FLAIR MRI.
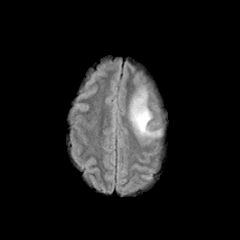
T1-weighted magnetic resonance.
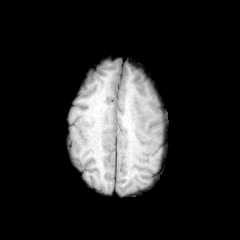
Post-contrast T1-weighted MR image.
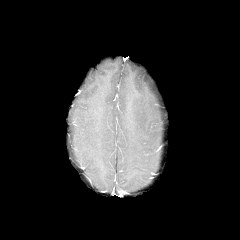
T2-weighted MR image.
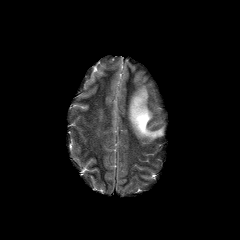
Brain, Axial plane
The peritumoral edema is at (x1=129, y1=89, x2=161, y2=138).